FLAIR magnetic resonance.
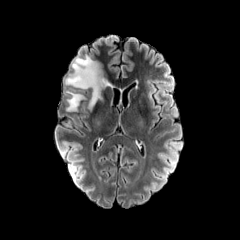
T1-weighted MR.
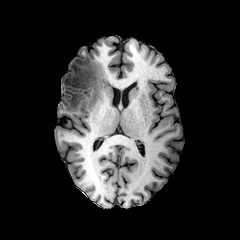
Post-contrast T1-weighted MR image.
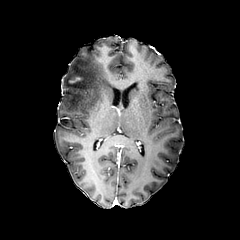
T2-weighted magnetic resonance.
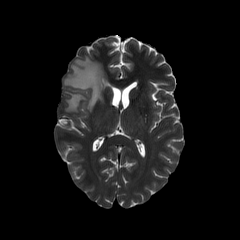
Brain; 240x240
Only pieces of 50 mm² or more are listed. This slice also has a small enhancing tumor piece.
<segmentation>
  <peritumoral_edema>[64, 55, 107, 110], [66, 91, 85, 111]</peritumoral_edema>
</segmentation>